Slice 98/155
FLAIR MR.
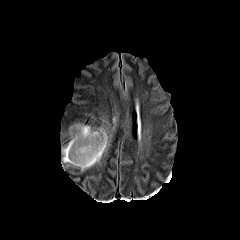
T1-weighted magnetic resonance.
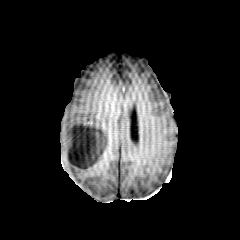
Post-contrast T1-weighted MR image.
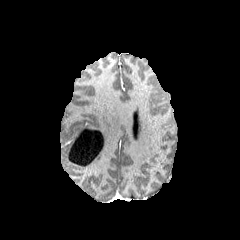
T2-weighted magnetic resonance.
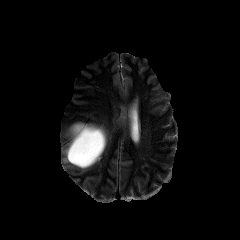
necrotic tumor core = [68,128,103,166]
peritumoral edema = [61,122,111,171]